FLAIR MRI.
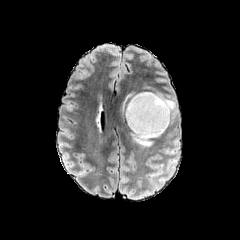
T1-weighted magnetic resonance.
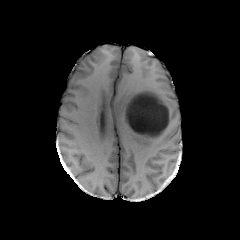
Post-contrast T1-weighted MR image.
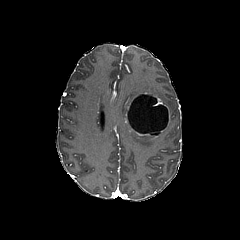
T2-weighted MRI.
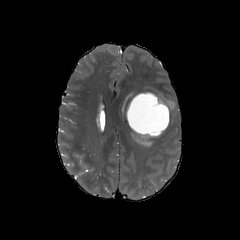
240x240, Brain, Axial view
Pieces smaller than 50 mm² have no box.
<segmentation>
  <peritumoral_edema>(x1=132, y1=131, x2=152, y2=146), (x1=158, y1=96, x2=172, y2=106)</peritumoral_edema>
  <enhancing_tumor>(x1=134, y1=128, x2=165, y2=137), (x1=125, y1=92, x2=169, y2=130)</enhancing_tumor>
  <necrotic_tumor_core>(x1=127, y1=94, x2=168, y2=135)</necrotic_tumor_core>
</segmentation>